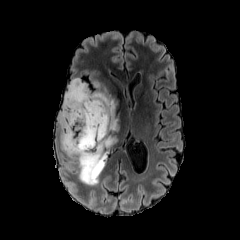
FLAIR MR.
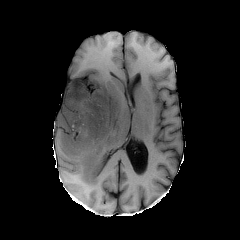
T1-weighted MR image.
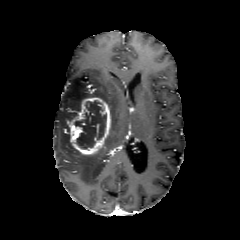
Post-contrast T1-weighted MR image of the same slice.
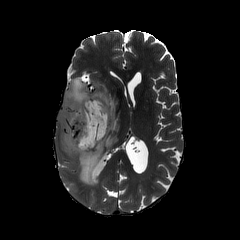
Same slice, T2-weighted MR image.
Image size 240x240
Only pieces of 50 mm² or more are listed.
enhancing_tumor:
  - 67, 97, 111, 155
peritumoral_edema:
  - 58, 78, 119, 185
necrotic_tumor_core:
  - 74, 101, 106, 148